FLAIR MRI.
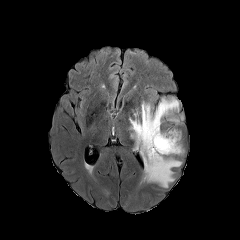
T1-weighted magnetic resonance.
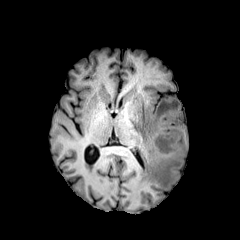
Post-contrast T1-weighted MRI.
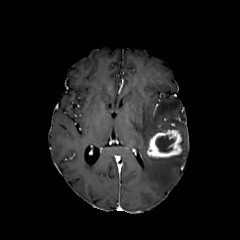
T2-weighted magnetic resonance.
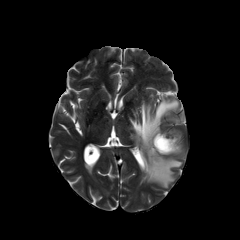
Brain; Axial plane
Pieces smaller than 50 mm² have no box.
The largest peritumoral edema region is located at bbox(129, 98, 181, 187). The necrotic tumor core is at bbox(155, 136, 174, 152). The enhancing tumor is bounded by bbox(147, 129, 182, 157).